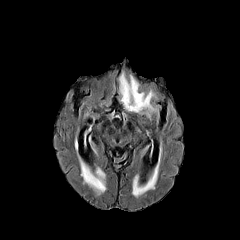
FLAIR MR image.
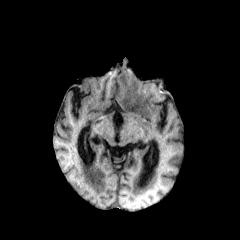
T1-weighted MR image of the same slice.
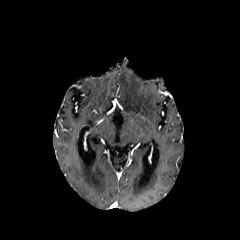
Same slice, post-contrast T1-weighted MRI.
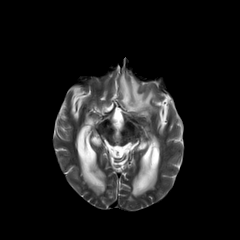
T2-weighted MRI.
240x240 px | Head
Segmented structures:
• peritumoral edema: <box>132,176,156,196</box>, <box>119,72,157,116</box>, <box>80,161,105,194</box>